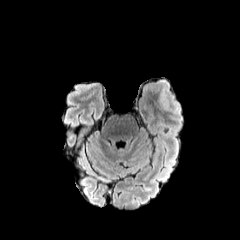
FLAIR MRI.
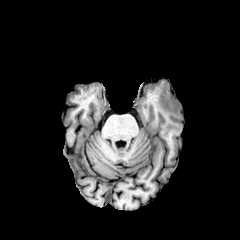
T1-weighted MRI.
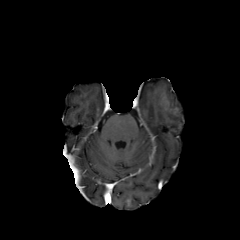
Same slice, post-contrast T1-weighted MR image.
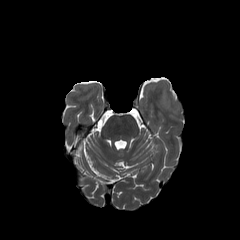
Same slice, T2-weighted MRI.
Head.
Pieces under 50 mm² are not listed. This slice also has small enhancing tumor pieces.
The peritumoral edema is bounded by box(160, 87, 180, 115).